FLAIR magnetic resonance.
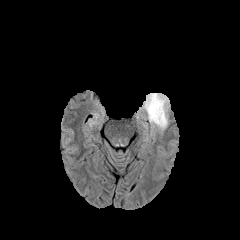
T1-weighted magnetic resonance.
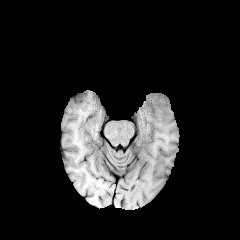
Post-contrast T1-weighted MR image.
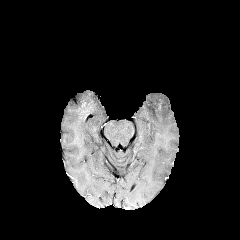
T2-weighted MRI.
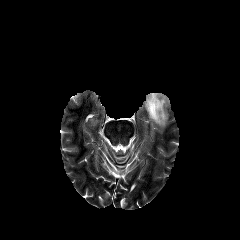
Axial view
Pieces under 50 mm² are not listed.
peritumoral edema = l=140, t=93, r=170, b=133